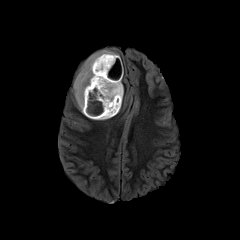
FLAIR MR.
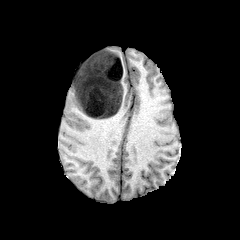
Same slice, T1-weighted magnetic resonance.
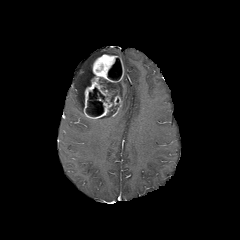
Same slice, post-contrast T1-weighted MRI.
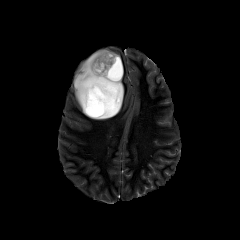
T2-weighted magnetic resonance.
Brain; Image size 240x240
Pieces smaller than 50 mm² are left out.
- enhancing tumor: box=[83, 54, 123, 119]
- peritumoral edema: box=[96, 116, 112, 120]; box=[72, 49, 119, 113]
- necrotic tumor core: box=[99, 78, 121, 102]; box=[108, 58, 122, 80]; box=[86, 87, 105, 116]; box=[106, 105, 118, 116]